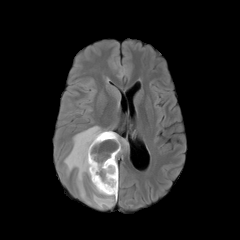
FLAIR MRI.
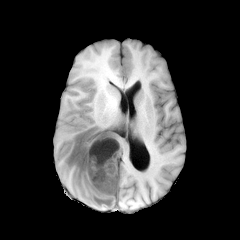
Same slice, T1-weighted MR.
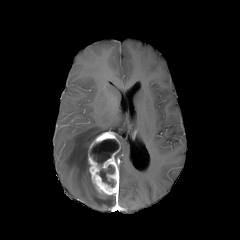
Post-contrast T1-weighted MR.
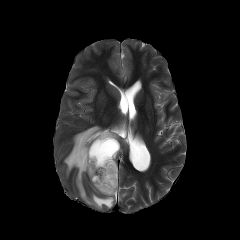
T2-weighted MRI of the same slice.
Axial view.
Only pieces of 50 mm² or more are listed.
enhancing tumor: 88,131,120,196 | necrotic tumor core: 99,165,115,187; 90,139,119,165 | peritumoral edema: 115,134,128,161; 64,125,116,208